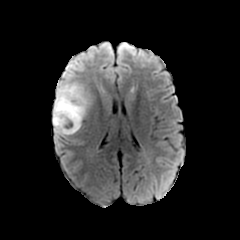
FLAIR MR.
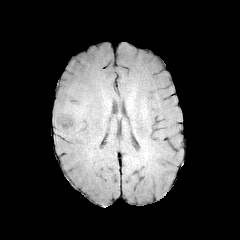
Same slice, T1-weighted MRI.
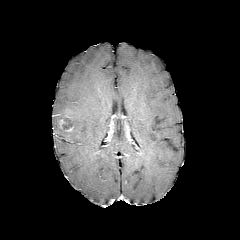
Same slice, post-contrast T1-weighted magnetic resonance.
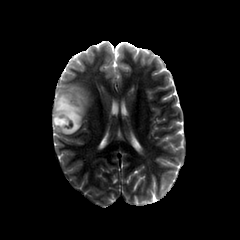
T2-weighted MRI.
240x240 px
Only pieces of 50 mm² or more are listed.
peritumoral edema at bbox(52, 80, 92, 136)
enhancing tumor at bbox(58, 111, 74, 131)
necrotic tumor core at bbox(62, 118, 72, 129)